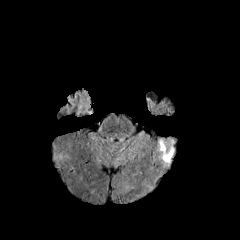
FLAIR MRI.
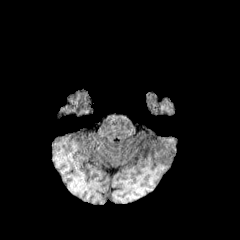
T1-weighted magnetic resonance.
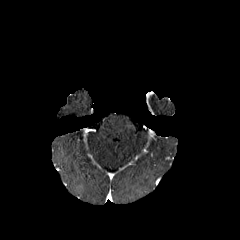
Post-contrast T1-weighted MRI.
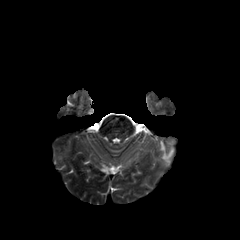
T2-weighted MR image.
Axial view | Brain
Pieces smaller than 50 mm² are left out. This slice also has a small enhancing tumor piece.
peritumoral edema: 159,139,174,164